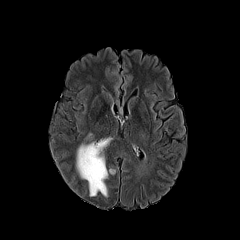
FLAIR MR image.
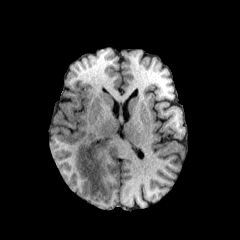
T1-weighted magnetic resonance of the same slice.
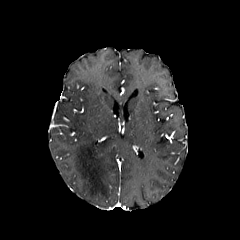
Post-contrast T1-weighted MR.
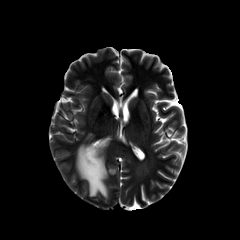
Same slice, T2-weighted magnetic resonance.
Axial plane, Head
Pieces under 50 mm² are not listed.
{
  "peritumoral_edema": [
    "(76,138,111,196)"
  ]
}